FLAIR MR.
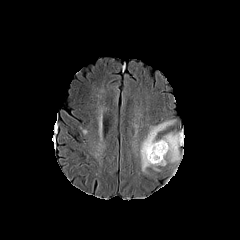
T1-weighted magnetic resonance.
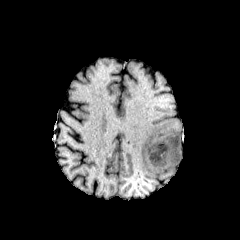
Post-contrast T1-weighted MR image.
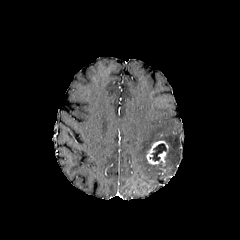
T2-weighted MR image.
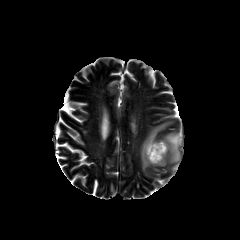
Axial view; 240x240
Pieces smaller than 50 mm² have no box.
enhancing tumor at bbox=[146, 141, 168, 165]
necrotic tumor core at bbox=[152, 143, 166, 161]
peritumoral edema at bbox=[140, 121, 183, 172]